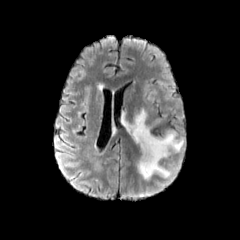
FLAIR MR image.
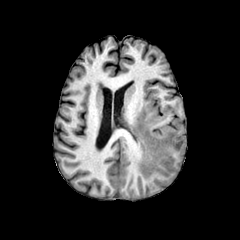
T1-weighted magnetic resonance of the same slice.
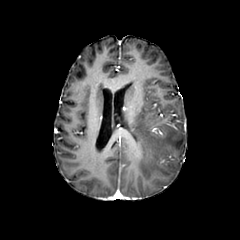
Post-contrast T1-weighted MR of the same slice.
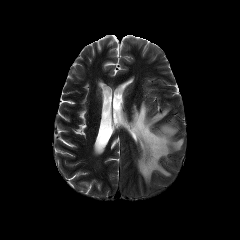
T2-weighted MR.
240x240 px | Head | Axial slice
The peritumoral edema lies within region(127, 108, 183, 180).